Slice index 79, 240x240 px
FLAIR magnetic resonance.
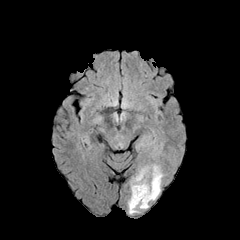
T1-weighted MR image.
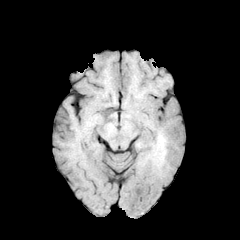
Post-contrast T1-weighted MR image.
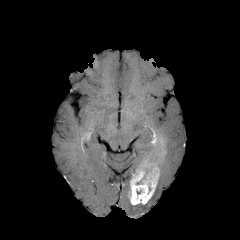
T2-weighted magnetic resonance.
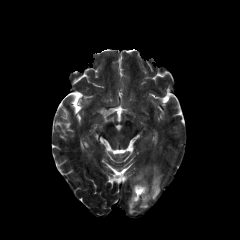
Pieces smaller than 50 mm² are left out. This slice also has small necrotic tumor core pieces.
peritumoral edema = left=149, top=166, right=162, bottom=200; left=128, top=199, right=148, bottom=214
enhancing tumor = left=129, top=165, right=159, bottom=205